FLAIR MRI.
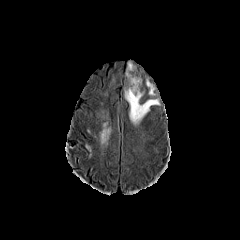
T1-weighted magnetic resonance.
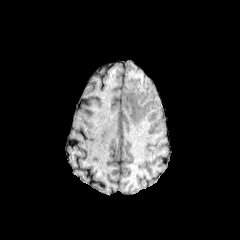
Post-contrast T1-weighted MR image.
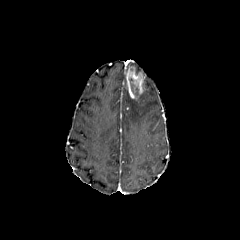
T2-weighted MR image.
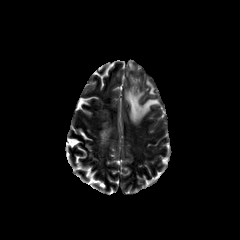
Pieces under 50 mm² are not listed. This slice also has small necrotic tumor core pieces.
<segmentation>
  <enhancing_tumor>{"x1": 126, "y1": 67, "x2": 146, "y2": 99}</enhancing_tumor>
  <peritumoral_edema>{"x1": 124, "y1": 87, "x2": 160, "y2": 124}, {"x1": 146, "y1": 79, "x2": 155, "y2": 96}</peritumoral_edema>
</segmentation>